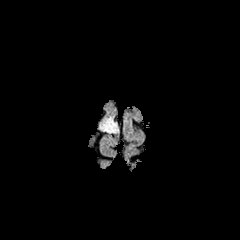
FLAIR magnetic resonance.
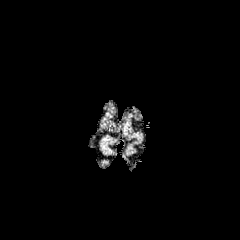
T1-weighted MR.
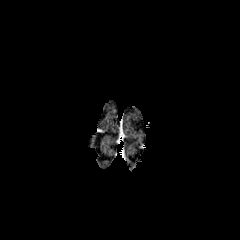
Post-contrast T1-weighted MR image.
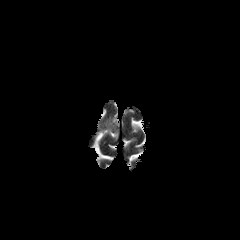
Same slice, T2-weighted magnetic resonance.
240x240 | Axial view
The peritumoral edema lies within (101,117,118,132).